FLAIR MRI.
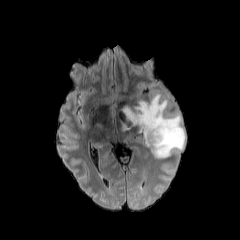
T1-weighted MRI.
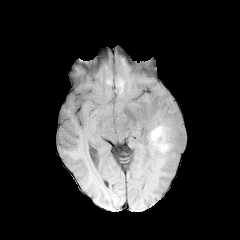
Post-contrast T1-weighted MR.
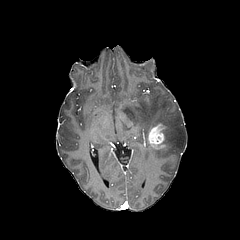
T2-weighted MR.
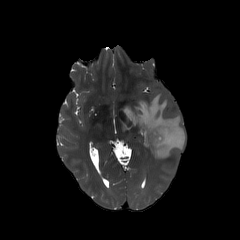
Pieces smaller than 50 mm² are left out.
Annotated regions:
- peritumoral edema: [123, 93, 185, 158]
- enhancing tumor: [148, 124, 164, 147]